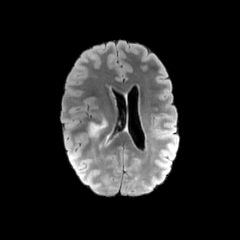
FLAIR MR.
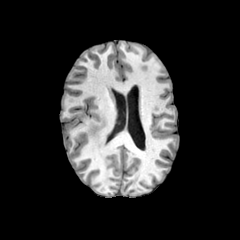
Same slice, T1-weighted MR image.
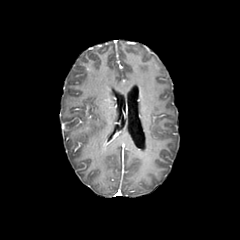
Same slice, post-contrast T1-weighted MRI.
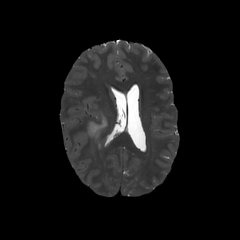
T2-weighted MRI of the same slice.
<segmentation>
  <peritumoral_edema>left=89, top=119, right=106, bottom=137</peritumoral_edema>
</segmentation>